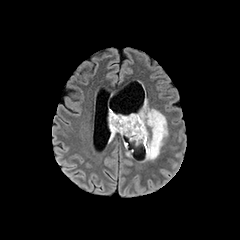
FLAIR MR.
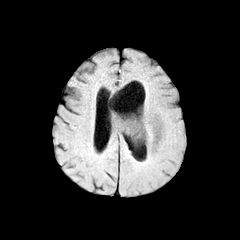
T1-weighted MR image.
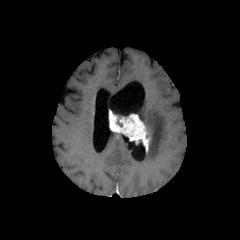
Post-contrast T1-weighted MR image.
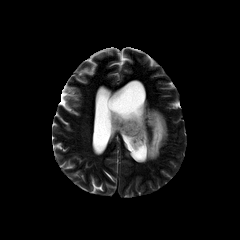
T2-weighted MR of the same slice.
Head.
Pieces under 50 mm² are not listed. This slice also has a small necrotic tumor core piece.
enhancing tumor: 108:109:150:152
peritumoral edema: 138:98:167:160